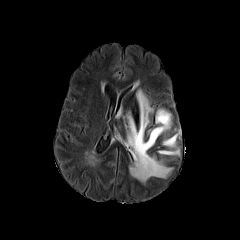
FLAIR MRI.
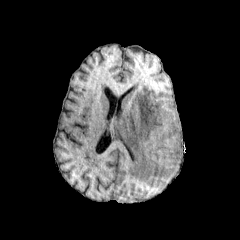
T1-weighted MR of the same slice.
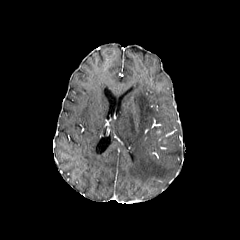
Same slice, post-contrast T1-weighted magnetic resonance.
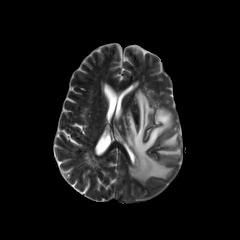
T2-weighted MRI.
Head, Axial slice
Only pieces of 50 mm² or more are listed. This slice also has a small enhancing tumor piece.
Segmented structures:
• peritumoral edema: bbox(158, 148, 180, 155); bbox(163, 133, 178, 147); bbox(127, 89, 172, 182)